FLAIR MRI.
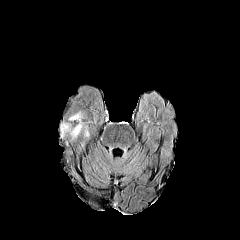
T1-weighted MR image.
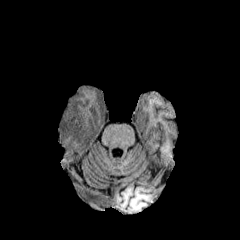
Post-contrast T1-weighted MR.
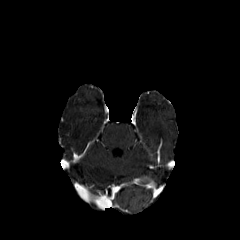
T2-weighted magnetic resonance.
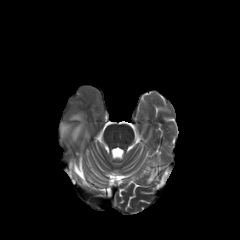
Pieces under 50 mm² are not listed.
<segmentation>
  <peritumoral_edema>(60, 123, 69, 136), (69, 112, 84, 137)</peritumoral_edema>
</segmentation>